FLAIR magnetic resonance.
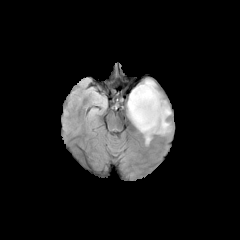
T1-weighted MR image.
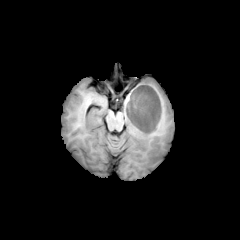
Post-contrast T1-weighted MRI.
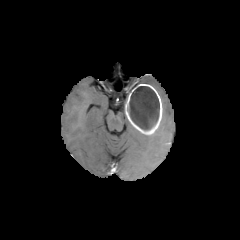
T2-weighted MR image.
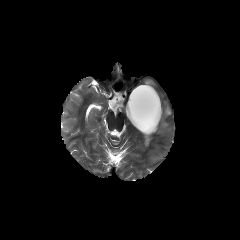
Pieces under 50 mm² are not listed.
{
  "enhancing_tumor": [
    "(left=125, top=84, right=162, bottom=135)"
  ],
  "necrotic_tumor_core": [
    "(left=129, top=86, right=159, bottom=130)"
  ],
  "peritumoral_edema": [
    "(left=144, top=135, right=151, bottom=144)",
    "(left=154, top=100, right=171, bottom=134)",
    "(left=144, top=79, right=155, bottom=88)"
  ]
}